Axial view
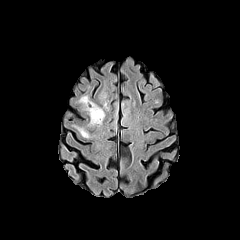
FLAIR MR.
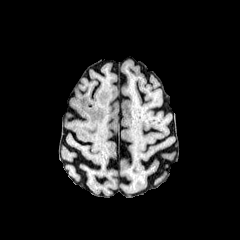
T1-weighted MRI.
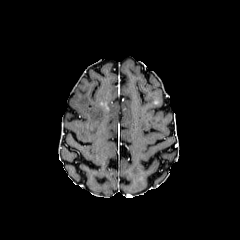
Same slice, post-contrast T1-weighted MRI.
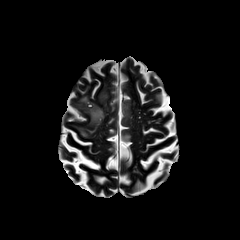
T2-weighted MR image of the same slice.
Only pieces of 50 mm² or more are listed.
peritumoral_edema:
  - 79 95 104 125
  - 78 128 88 137